FLAIR MR.
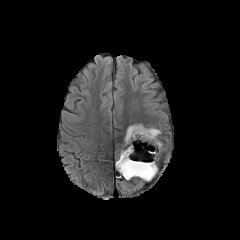
T1-weighted MR.
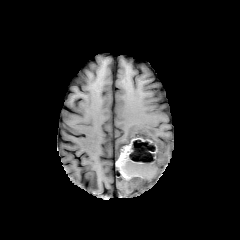
Post-contrast T1-weighted MRI.
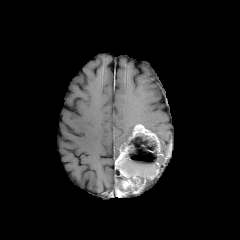
T2-weighted magnetic resonance.
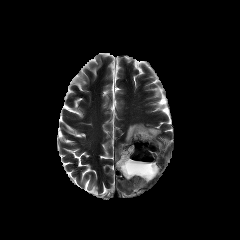
Brain
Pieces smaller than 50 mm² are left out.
2 enhancing tumor regions appear at (left=144, top=164, right=158, bottom=183), (left=115, top=124, right=160, bottom=188). The 2 largest peritumoral edema regions appear at (left=125, top=124, right=136, bottom=144), (left=146, top=127, right=160, bottom=136). The necrotic tumor core appears at (left=122, top=136, right=157, bottom=183).